Axial view; Head
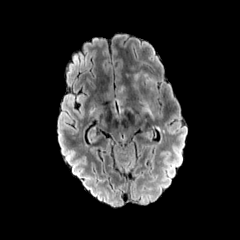
FLAIR magnetic resonance.
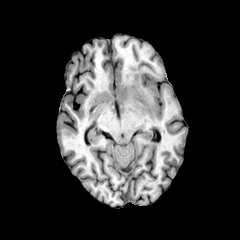
T1-weighted magnetic resonance.
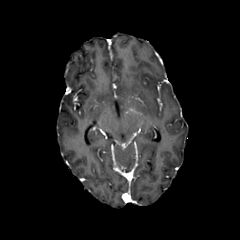
Same slice, post-contrast T1-weighted MR.
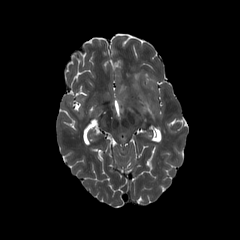
T2-weighted MRI of the same slice.
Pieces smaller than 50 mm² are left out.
peritumoral_edema:
  - (left=142, top=97, right=153, bottom=116)
  - (left=134, top=71, right=154, bottom=82)